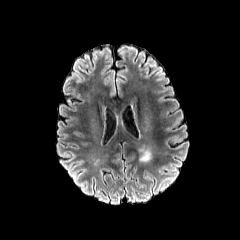
FLAIR magnetic resonance.
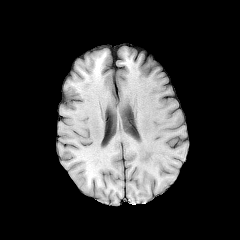
T1-weighted magnetic resonance.
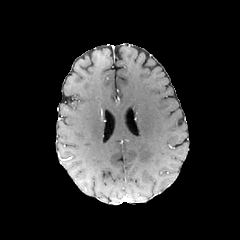
Post-contrast T1-weighted MRI of the same slice.
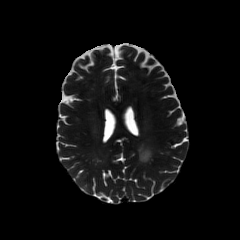
T2-weighted magnetic resonance.
Axial plane. Brain.
peritumoral_edema:
  - left=140, top=148, right=151, bottom=161